Axial slice, Brain
FLAIR magnetic resonance.
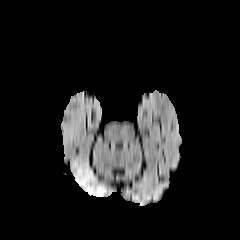
T1-weighted MR image.
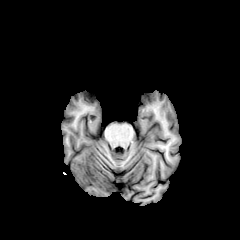
Post-contrast T1-weighted magnetic resonance.
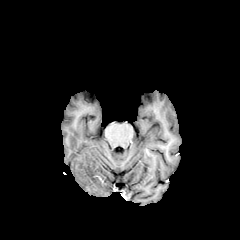
T2-weighted MR image.
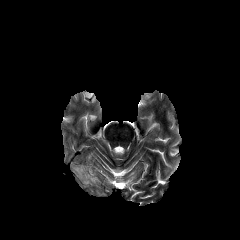
Segmented structures:
* peritumoral edema: region(74, 165, 105, 196)